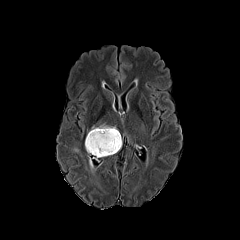
FLAIR magnetic resonance.
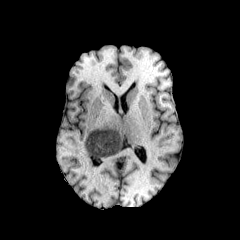
Same slice, T1-weighted MRI.
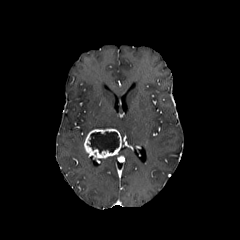
Post-contrast T1-weighted MR image of the same slice.
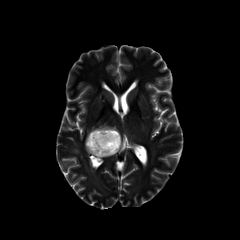
T2-weighted magnetic resonance.
Axial plane. Head.
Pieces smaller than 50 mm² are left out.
The necrotic tumor core lies within 87, 131, 119, 153. The largest peritumoral edema region lies within 91, 124, 115, 130. The enhancing tumor lies within 84, 128, 121, 159.